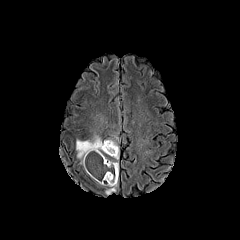
FLAIR MRI.
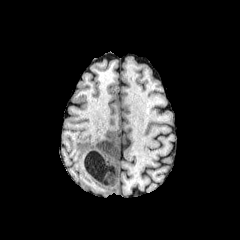
T1-weighted magnetic resonance of the same slice.
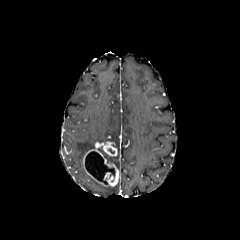
Post-contrast T1-weighted MR.
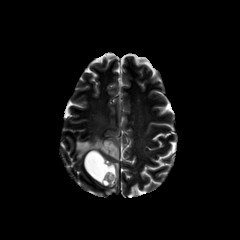
T2-weighted magnetic resonance.
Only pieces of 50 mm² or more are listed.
- enhancing tumor: (x1=83, y1=141, x2=118, y2=186)
- necrotic tumor core: (x1=85, y1=151, x2=115, y2=184)
- peritumoral edema: (x1=76, y1=136, x2=101, y2=163), (x1=105, y1=184, x2=117, y2=194)